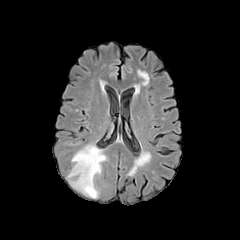
FLAIR MRI.
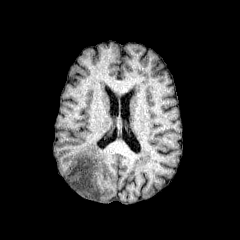
T1-weighted MRI.
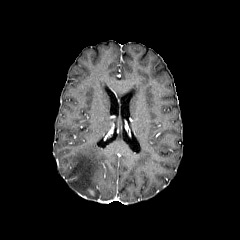
Post-contrast T1-weighted MR.
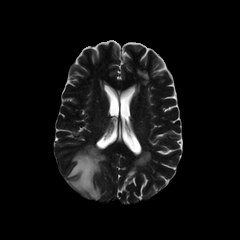
T2-weighted MRI.
Head
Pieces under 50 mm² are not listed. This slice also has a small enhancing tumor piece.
Findings:
* peritumoral edema: <box>67,144,106,198</box>